FLAIR MR image.
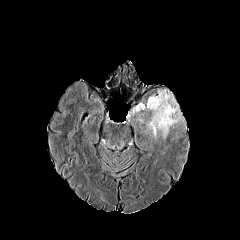
T1-weighted magnetic resonance.
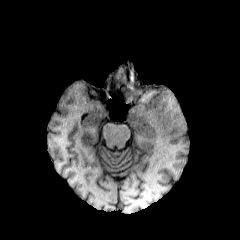
Post-contrast T1-weighted MRI.
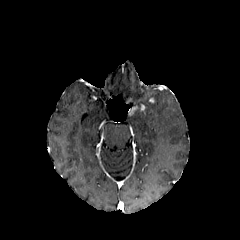
T2-weighted MR image.
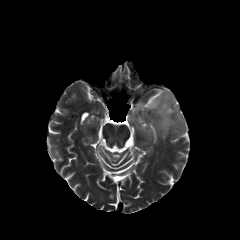
Brain | Image size 240x240
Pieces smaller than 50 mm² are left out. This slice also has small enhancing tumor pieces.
<segmentation>
  <peritumoral_edema>x1=147 y1=91 x2=181 y2=138</peritumoral_edema>
</segmentation>